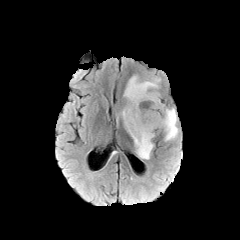
FLAIR magnetic resonance.
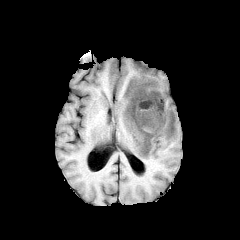
Same slice, T1-weighted MR.
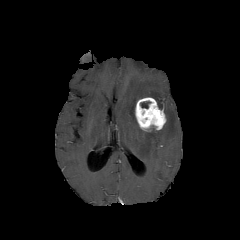
Same slice, post-contrast T1-weighted MR image.
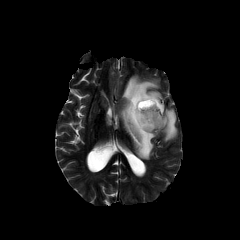
Same slice, T2-weighted magnetic resonance.
Axial slice. Brain.
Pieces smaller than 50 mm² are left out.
enhancing tumor: 134 97 166 131 | peritumoral edema: 162 108 178 141, 120 75 163 159 | necrotic tumor core: 140 101 150 108